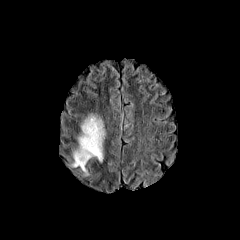
FLAIR MRI.
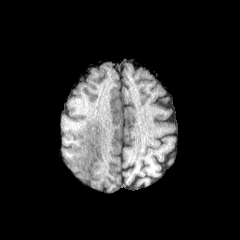
T1-weighted magnetic resonance.
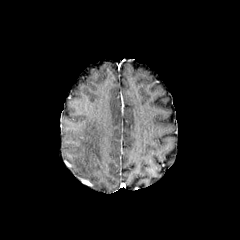
Post-contrast T1-weighted MR of the same slice.
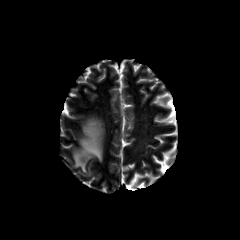
T2-weighted MR.
Brain. 240x240 px. Axial slice.
peritumoral_edema:
  - (x1=71, y1=114, x2=105, y2=176)